Brain. Axial view. 240x240 px.
FLAIR MRI.
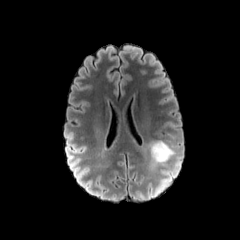
T1-weighted MRI.
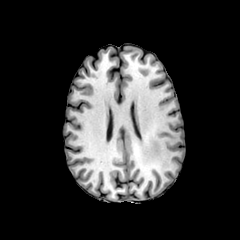
Post-contrast T1-weighted magnetic resonance.
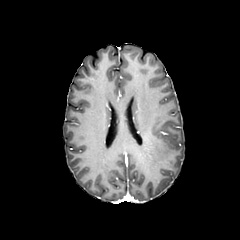
T2-weighted MRI.
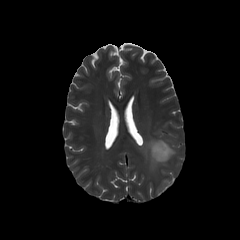
The peritumoral edema is bounded by (x1=150, y1=140, x2=174, y2=165).